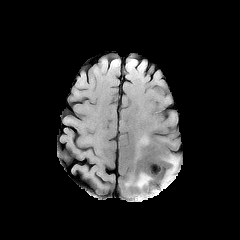
FLAIR magnetic resonance.
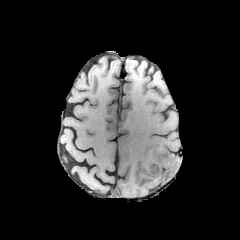
T1-weighted MR image.
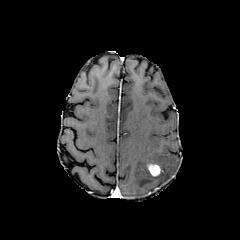
Post-contrast T1-weighted magnetic resonance.
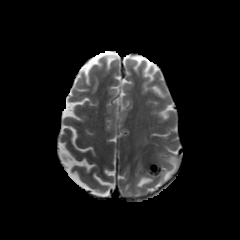
T2-weighted MR of the same slice.
Brain. 240x240.
peritumoral edema at l=162, t=156, r=178, b=183; l=136, t=135, r=149, b=154; l=136, t=174, r=151, b=188
enhancing tumor at l=147, t=164, r=159, b=175